Slice 103/155; Axial plane
FLAIR MR image.
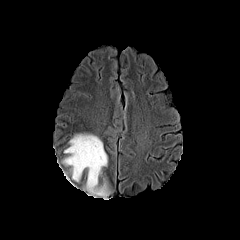
T1-weighted MR image.
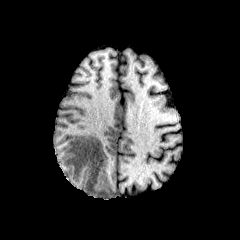
Post-contrast T1-weighted MR.
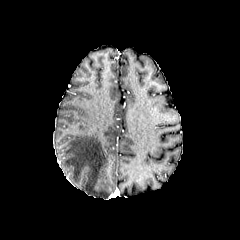
T2-weighted MR.
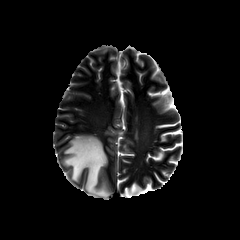
peritumoral edema = 63 134 110 198